Head. Axial view. Slice 56/155. Image width 240 mm, 1.00 mm slice spacing.
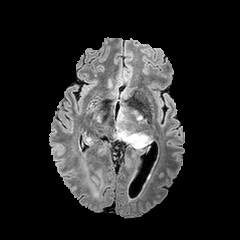
FLAIR magnetic resonance.
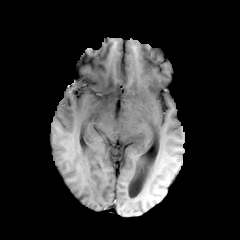
T1-weighted magnetic resonance.
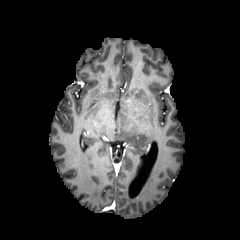
Post-contrast T1-weighted MR image.
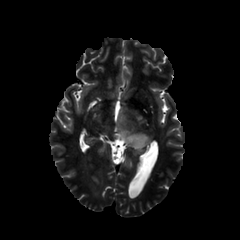
T2-weighted MR image of the same slice.
The peritumoral edema lies within box=[116, 111, 149, 148].